FLAIR MR image.
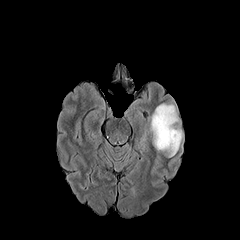
T1-weighted MR.
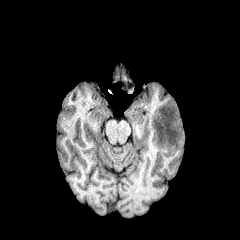
Post-contrast T1-weighted magnetic resonance.
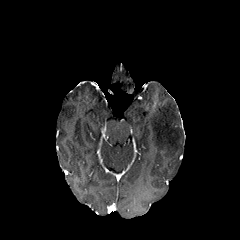
T2-weighted MR image.
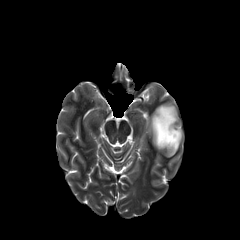
Image size 240x240; Axial plane
* peritumoral edema: (left=150, top=104, right=183, bottom=156)